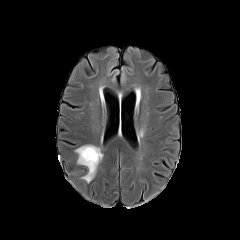
FLAIR magnetic resonance.
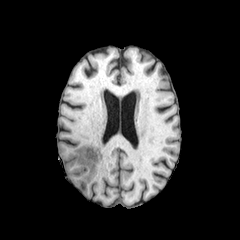
T1-weighted MR.
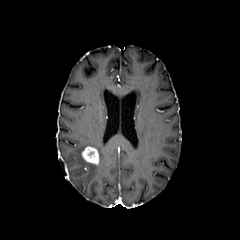
Post-contrast T1-weighted magnetic resonance of the same slice.
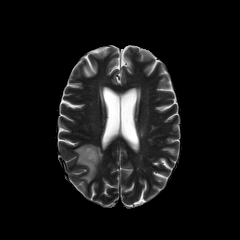
Same slice, T2-weighted MRI.
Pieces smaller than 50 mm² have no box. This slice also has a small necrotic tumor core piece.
<segmentation>
  <enhancing_tumor>[82, 146, 98, 164]</enhancing_tumor>
  <peritumoral_edema>[75, 144, 102, 183]</peritumoral_edema>
</segmentation>